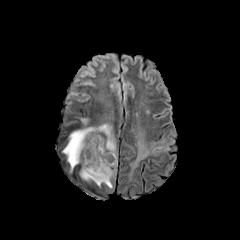
FLAIR MR image.
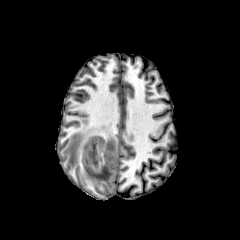
T1-weighted magnetic resonance.
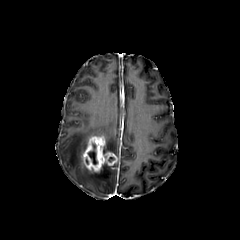
Post-contrast T1-weighted MR image.
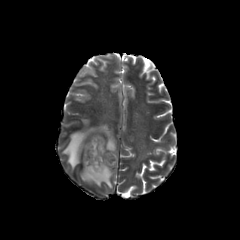
T2-weighted MRI of the same slice.
Axial plane.
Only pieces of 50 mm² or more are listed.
The enhancing tumor is at bbox=[82, 135, 117, 172]. The 2 largest peritumoral edema regions are located at bbox=[63, 123, 117, 171]; bbox=[80, 165, 115, 188]. The largest necrotic tumor core region appears at bbox=[88, 150, 97, 164].